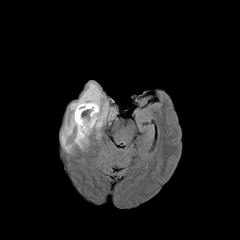
FLAIR MRI.
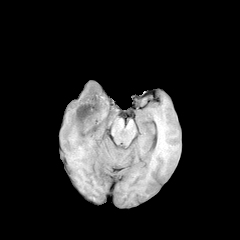
T1-weighted MR image.
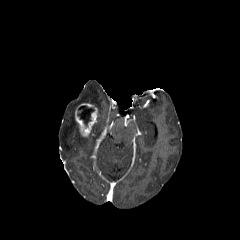
Post-contrast T1-weighted MR of the same slice.
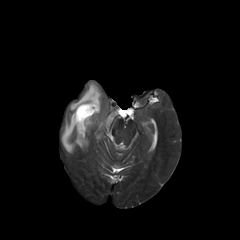
T2-weighted MR image of the same slice.
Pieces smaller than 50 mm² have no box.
necrotic tumor core: bounding box box=[77, 106, 94, 125]
peritumoral edema: bounding box box=[61, 82, 108, 152]
enhancing tumor: bounding box box=[75, 103, 98, 136]